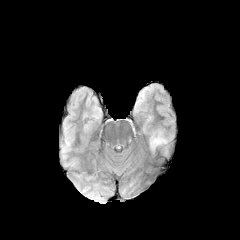
FLAIR magnetic resonance.
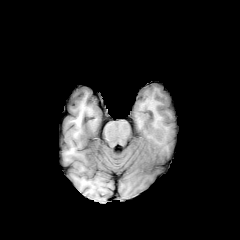
T1-weighted MRI.
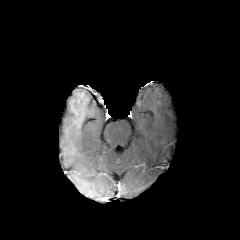
Post-contrast T1-weighted MR image.
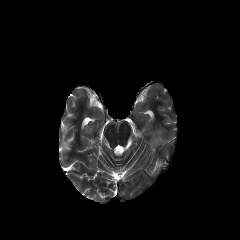
T2-weighted MRI of the same slice.
240x240 px. Brain.
peritumoral edema: 151:138:162:146